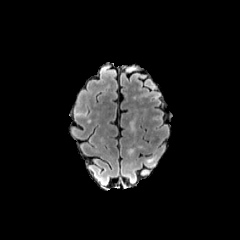
FLAIR MRI.
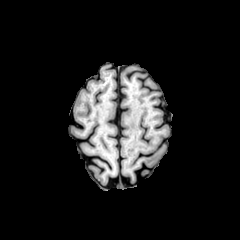
T1-weighted magnetic resonance of the same slice.
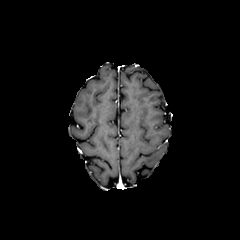
Post-contrast T1-weighted MR image.
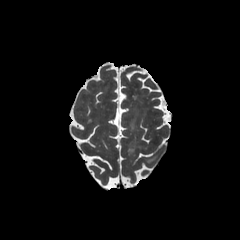
T2-weighted MR image of the same slice.
Brain; 240x240 px
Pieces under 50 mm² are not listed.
Annotated regions:
• peritumoral edema: {"x1": 127, "y1": 147, "x2": 135, "y2": 157}